FLAIR MRI.
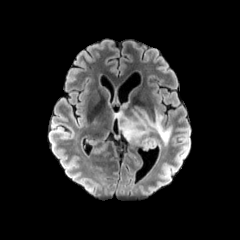
T1-weighted MR.
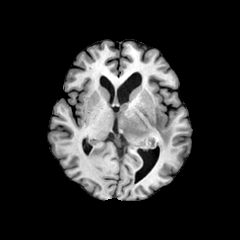
Post-contrast T1-weighted MR.
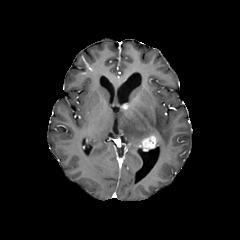
T2-weighted MR.
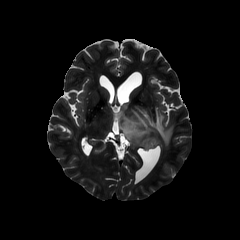
Brain.
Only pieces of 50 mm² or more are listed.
peritumoral edema at bbox(113, 106, 171, 145)
enhancing tumor at bbox(139, 135, 157, 150)